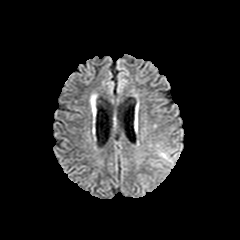
FLAIR MRI.
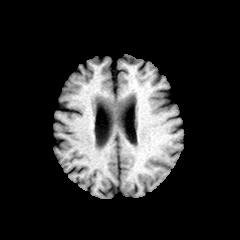
T1-weighted MR image.
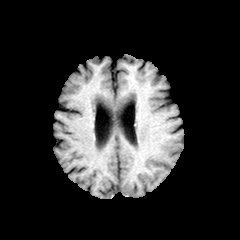
Post-contrast T1-weighted MRI of the same slice.
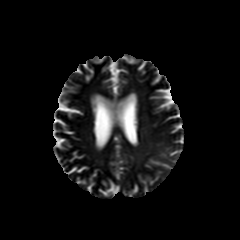
T2-weighted magnetic resonance.
Brain. Axial view.
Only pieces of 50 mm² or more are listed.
Segmented structures:
* peritumoral edema: left=159, top=151, right=172, bottom=163